FLAIR MRI.
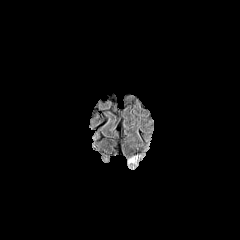
T1-weighted MR.
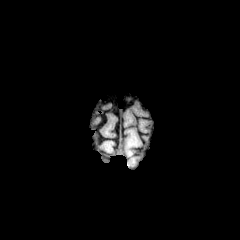
Post-contrast T1-weighted magnetic resonance.
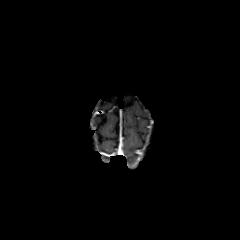
T2-weighted MR.
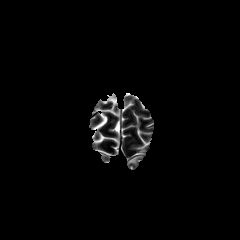
peritumoral edema = 129 154 139 163